FLAIR MRI.
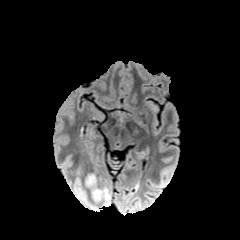
T1-weighted MRI.
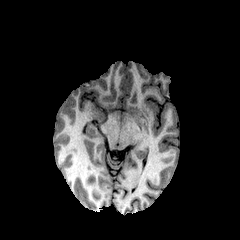
Post-contrast T1-weighted MR.
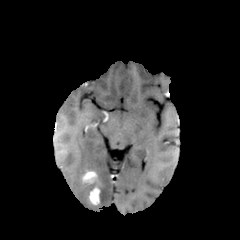
T2-weighted MRI.
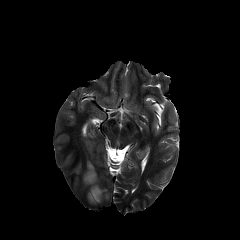
Axial view | 240x240 px | Brain
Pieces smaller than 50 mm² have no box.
Segmented structures:
* enhancing tumor: l=90, t=187, r=100, b=204; l=83, t=171, r=96, b=183
* peritumoral edema: l=99, t=189, r=110, b=201